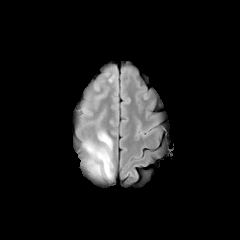
FLAIR MR.
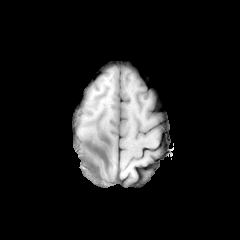
T1-weighted magnetic resonance.
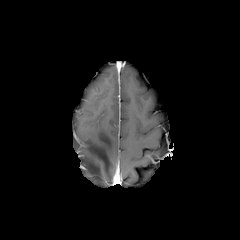
Post-contrast T1-weighted MR image of the same slice.
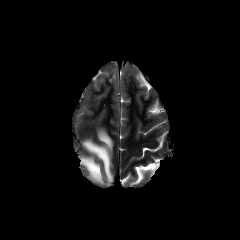
Same slice, T2-weighted magnetic resonance.
Brain
peritumoral edema: l=83, t=130, r=112, b=179